Axial view.
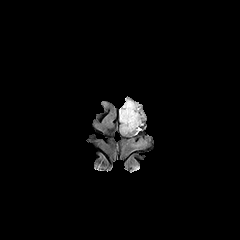
FLAIR MR image.
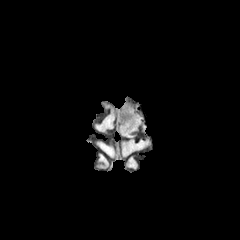
T1-weighted magnetic resonance.
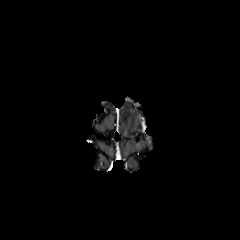
Post-contrast T1-weighted magnetic resonance.
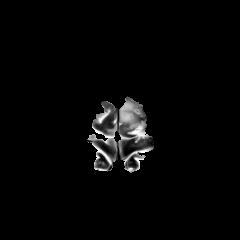
T2-weighted MR.
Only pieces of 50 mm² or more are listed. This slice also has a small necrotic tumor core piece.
peritumoral edema: bounding box region(120, 100, 139, 133)